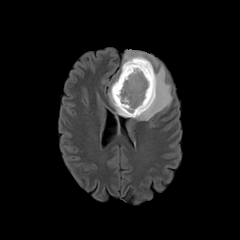
FLAIR magnetic resonance.
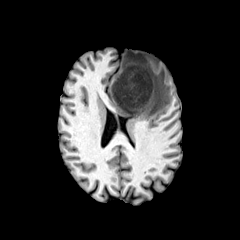
Same slice, T1-weighted MR.
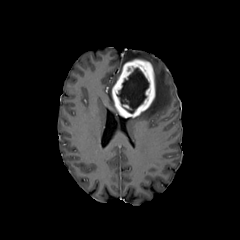
Post-contrast T1-weighted MR of the same slice.
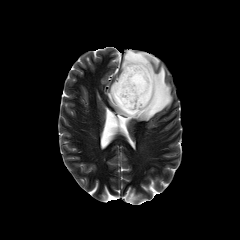
T2-weighted MRI of the same slice.
Brain
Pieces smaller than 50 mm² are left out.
necrotic tumor core: <box>116,68,149,113</box> | enhancing tumor: <box>112,59,155,117</box> | peritumoral edema: <box>108,81,118,113</box>, <box>133,65,172,120</box>, <box>121,50,158,71</box>